FLAIR MR image.
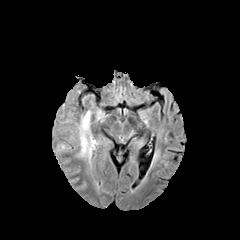
T1-weighted MRI.
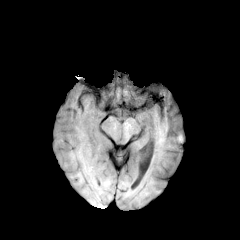
Post-contrast T1-weighted magnetic resonance.
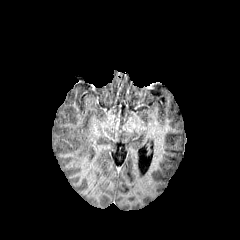
T2-weighted MR.
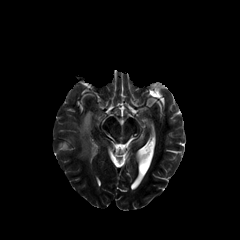
Brain
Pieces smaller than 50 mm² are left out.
The largest peritumoral edema region appears at left=77, top=111, right=97, bottom=159.